FLAIR magnetic resonance.
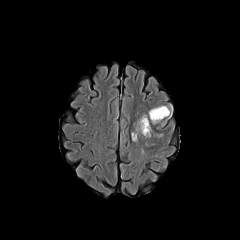
T1-weighted magnetic resonance.
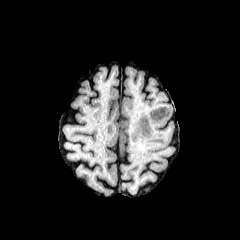
Post-contrast T1-weighted MR image.
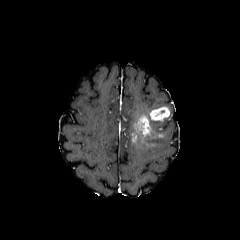
T2-weighted MRI.
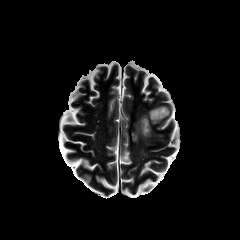
Axial slice | Brain
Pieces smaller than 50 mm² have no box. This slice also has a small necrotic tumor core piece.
enhancing_tumor:
  - [149,106,169,120]
  - [132,115,151,141]
peritumoral_edema:
  - [156,104,172,129]